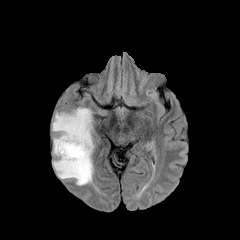
FLAIR magnetic resonance.
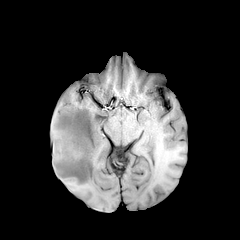
T1-weighted MR image of the same slice.
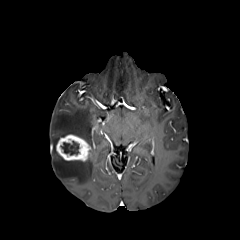
Same slice, post-contrast T1-weighted MR image.
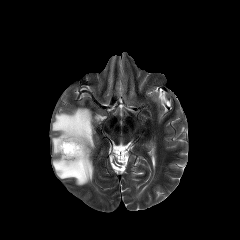
T2-weighted magnetic resonance.
necrotic tumor core: (x1=61, y1=141, x2=78, y2=154) | peritumoral edema: (x1=52, y1=107, x2=93, y2=185) | enhancing tumor: (x1=56, y1=134, x2=91, y2=161)